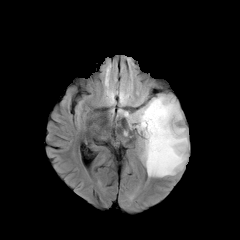
FLAIR magnetic resonance.
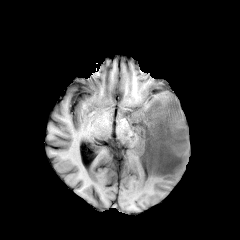
T1-weighted MRI.
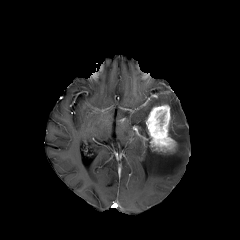
Post-contrast T1-weighted MRI.
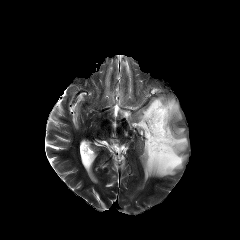
T2-weighted MR.
Axial slice; Head
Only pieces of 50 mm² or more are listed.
enhancing tumor: box=[145, 104, 177, 153] | peritumoral edema: box=[119, 95, 188, 177]